Axial slice, 240x240 px
FLAIR MR image.
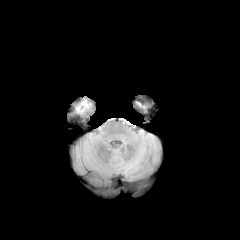
T1-weighted magnetic resonance.
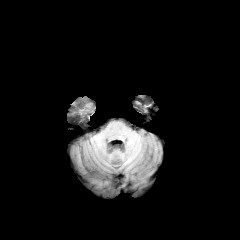
Post-contrast T1-weighted MRI.
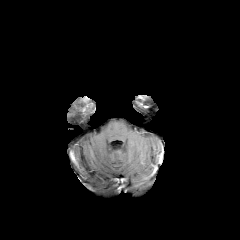
T2-weighted MR.
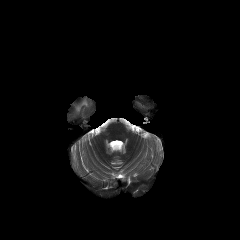
The peritumoral edema is at [75,100,90,113].